FLAIR MR image.
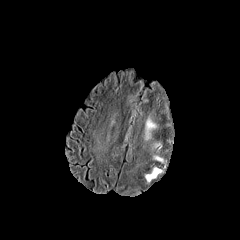
T1-weighted MR.
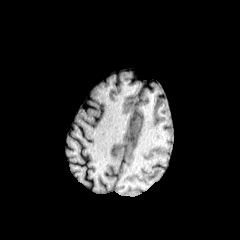
Post-contrast T1-weighted MRI.
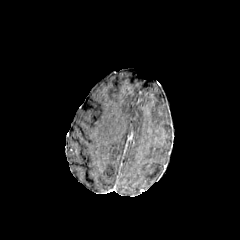
T2-weighted magnetic resonance.
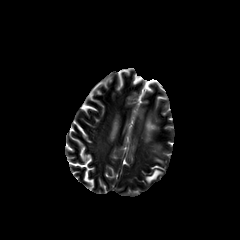
Head
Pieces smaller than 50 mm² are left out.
peritumoral_edema:
  - 146,168,161,182
  - 146,120,155,131